Image width 240 mm, 1.00 mm slice spacing; Axial plane; 240x240
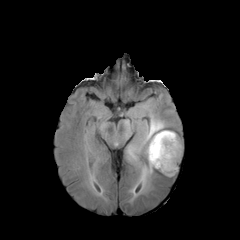
FLAIR magnetic resonance.
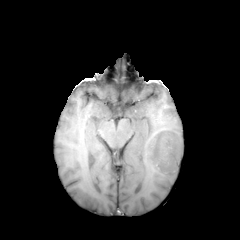
T1-weighted MR of the same slice.
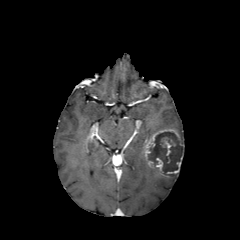
Same slice, post-contrast T1-weighted MRI.
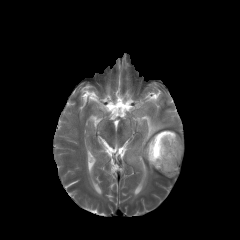
T2-weighted MR of the same slice.
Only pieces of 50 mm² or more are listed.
enhancing tumor: l=162, t=137, r=175, b=155; l=143, t=129, r=184, b=177
necrotic tumor core: l=148, t=132, r=182, b=175
peritumoral edema: l=127, t=113, r=166, b=200; l=139, t=104, r=148, b=115